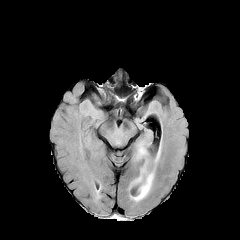
FLAIR magnetic resonance.
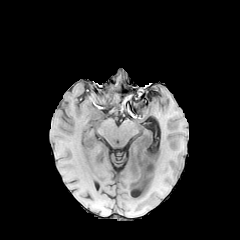
Same slice, T1-weighted MR.
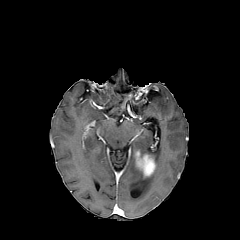
Same slice, post-contrast T1-weighted MR image.
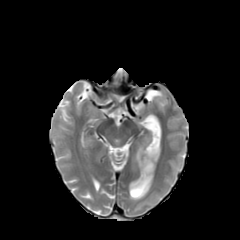
T2-weighted MRI.
Axial plane
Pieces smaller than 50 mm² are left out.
The 2 largest peritumoral edema regions are bounded by [x1=129, y1=170, x2=154, y2=201], [x1=137, y1=143, x2=148, y2=155]. The enhancing tumor lies within [x1=134, y1=150, x2=155, y2=177].